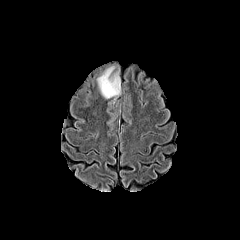
FLAIR MR.
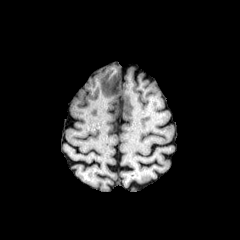
Same slice, T1-weighted MRI.
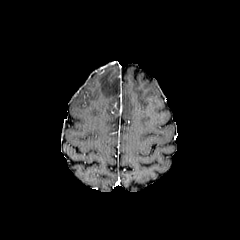
Same slice, post-contrast T1-weighted MRI.
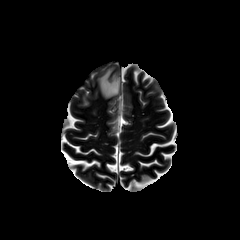
Same slice, T2-weighted MR.
Brain.
{
  "peritumoral_edema": [
    "(97,67,120,98)"
  ]
}